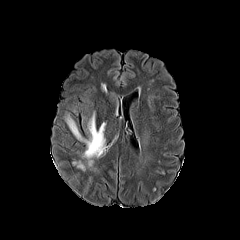
FLAIR MR.
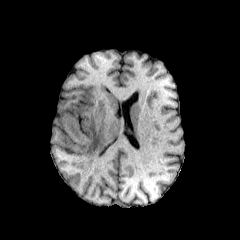
T1-weighted MR.
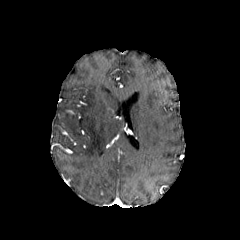
Post-contrast T1-weighted MR of the same slice.
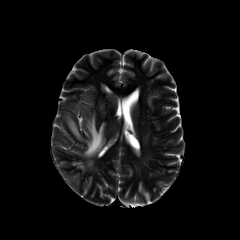
T2-weighted MR.
<segmentation>
  <peritumoral_edema><bbox>65, 112, 105, 167</bbox>, <bbox>73, 161, 85, 170</bbox></peritumoral_edema>
</segmentation>